Axial slice.
FLAIR magnetic resonance.
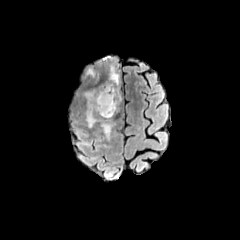
T1-weighted magnetic resonance.
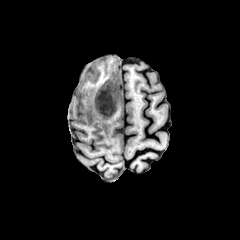
Post-contrast T1-weighted magnetic resonance.
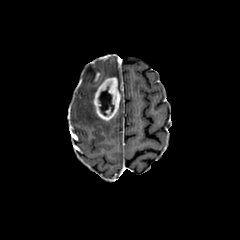
T2-weighted MR image.
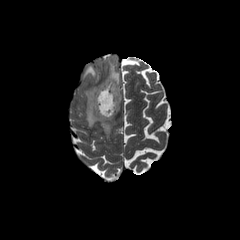
necrotic tumor core at (98, 86, 114, 115)
enhancing tumor at (93, 77, 120, 120)
peritumoral edema at (86, 67, 95, 77), (101, 120, 114, 139), (85, 90, 100, 127), (108, 65, 119, 83)